Image width 240 mm; 240x240
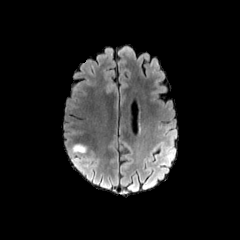
FLAIR magnetic resonance.
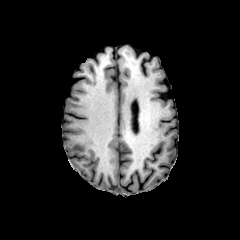
T1-weighted magnetic resonance.
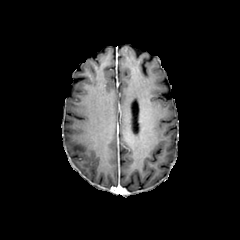
Post-contrast T1-weighted magnetic resonance.
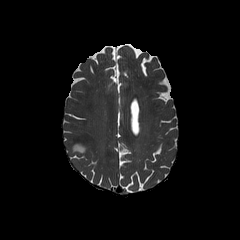
T2-weighted MRI.
The peritumoral edema appears at x1=71 y1=144 x2=86 y2=152.